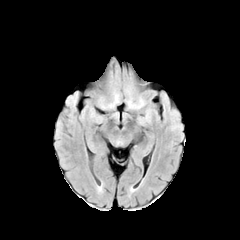
FLAIR MR.
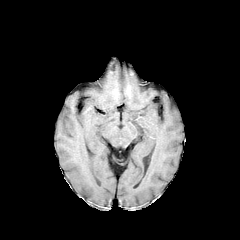
Same slice, T1-weighted magnetic resonance.
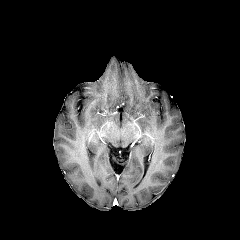
Post-contrast T1-weighted MR image.
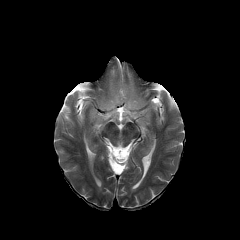
T2-weighted magnetic resonance of the same slice.
Brain
2 peritumoral edema regions appear at 126,96,144,108; 108,94,120,107.